Image width 240 mm, 1.00 mm slice spacing, Head
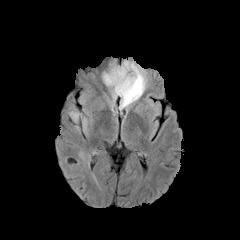
FLAIR MRI.
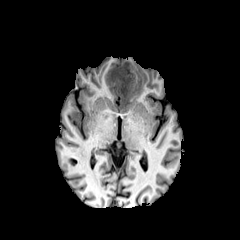
T1-weighted MR.
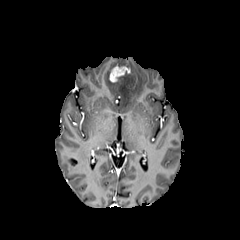
Post-contrast T1-weighted MR of the same slice.
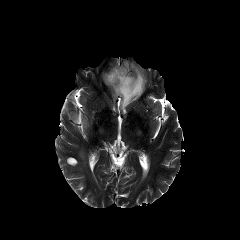
T2-weighted MR image.
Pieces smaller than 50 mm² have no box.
enhancing tumor: rect(109, 66, 129, 82) | peritumoral edema: rect(103, 61, 146, 109)